FLAIR magnetic resonance.
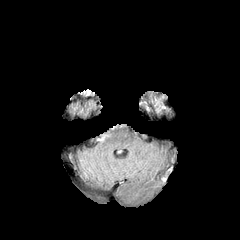
T1-weighted MR.
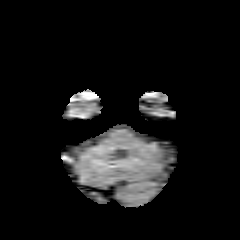
Post-contrast T1-weighted magnetic resonance.
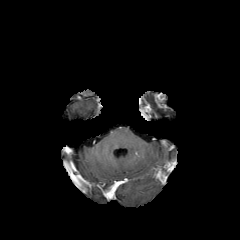
T2-weighted MR image.
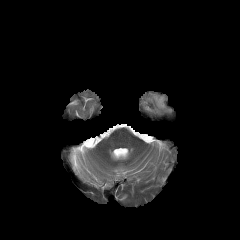
Brain.
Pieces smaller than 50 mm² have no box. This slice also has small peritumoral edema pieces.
enhancing tumor at bbox(155, 94, 166, 109)